Axial view
FLAIR MRI.
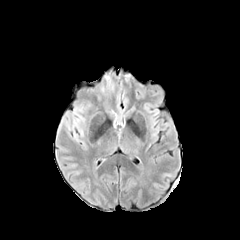
T1-weighted MR.
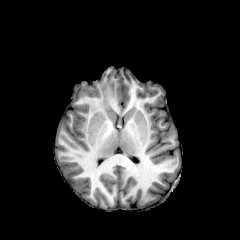
Post-contrast T1-weighted magnetic resonance.
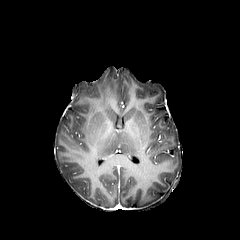
T2-weighted MR.
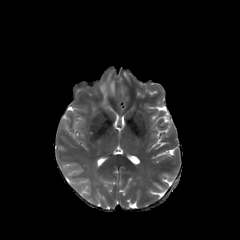
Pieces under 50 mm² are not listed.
peritumoral edema: (100, 81, 114, 96)